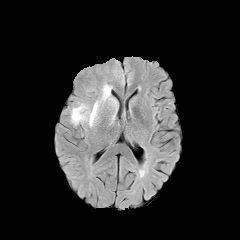
FLAIR MR image.
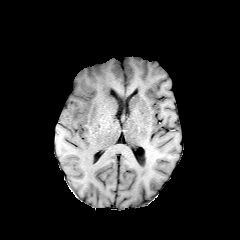
Same slice, T1-weighted MR image.
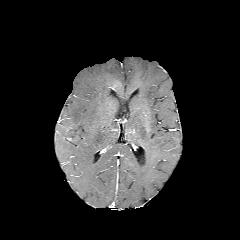
Post-contrast T1-weighted magnetic resonance.
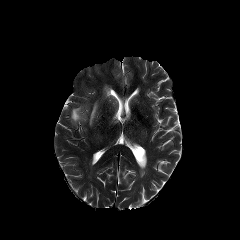
T2-weighted MRI.
Head
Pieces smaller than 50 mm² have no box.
peritumoral edema: [71,84,116,126]